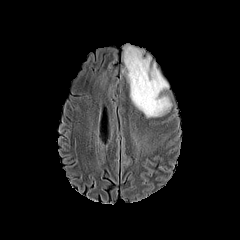
FLAIR magnetic resonance.
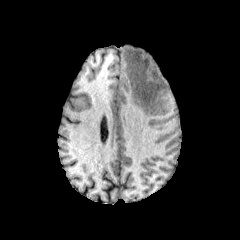
T1-weighted MR image.
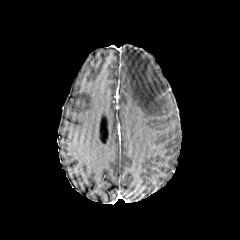
Post-contrast T1-weighted magnetic resonance.
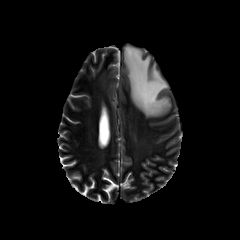
T2-weighted MR of the same slice.
peritumoral edema: bounding box region(121, 44, 171, 117); region(103, 70, 108, 87)